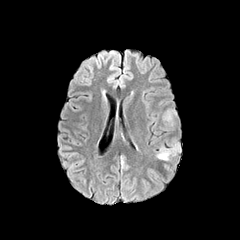
FLAIR MR.
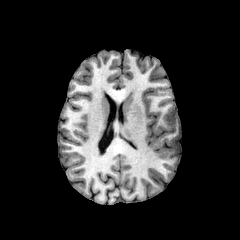
T1-weighted MR image.
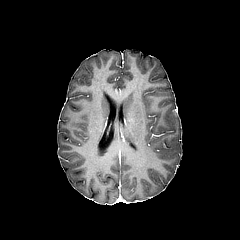
Post-contrast T1-weighted MRI.
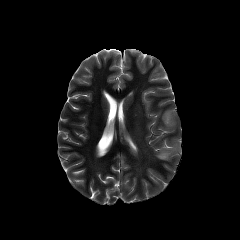
T2-weighted MR image.
Image size 240x240
peritumoral edema = bbox=[163, 110, 175, 126]; bbox=[156, 142, 180, 160]